FLAIR MRI.
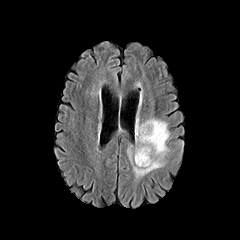
T1-weighted MR.
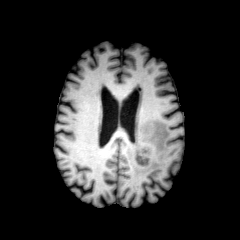
Post-contrast T1-weighted magnetic resonance.
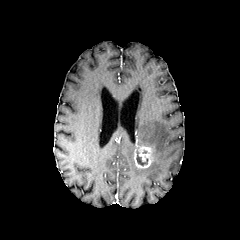
T2-weighted MR.
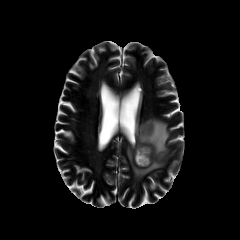
Brain
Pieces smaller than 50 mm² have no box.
The largest necrotic tumor core region appears at [x1=136, y1=151, x2=147, y2=165]. The enhancing tumor is located at [x1=134, y1=146, x2=152, y2=168]. The peritumoral edema is at [x1=126, y1=117, x2=170, y2=180].